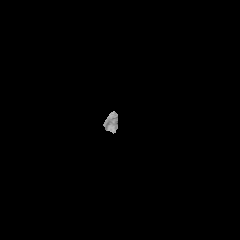
FLAIR MR image.
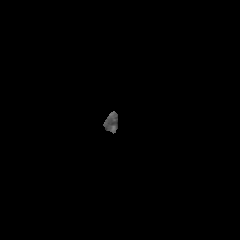
T1-weighted MRI.
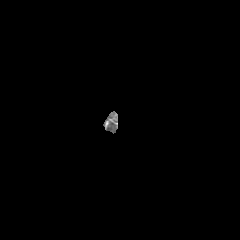
Post-contrast T1-weighted magnetic resonance.
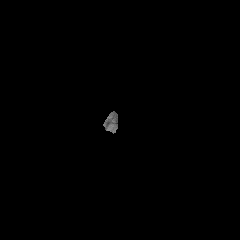
T2-weighted magnetic resonance of the same slice.
Head.
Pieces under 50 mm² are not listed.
{
  "peritumoral_edema": [
    "108,124,115,132"
  ]
}